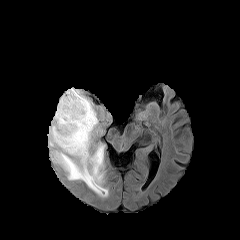
FLAIR magnetic resonance.
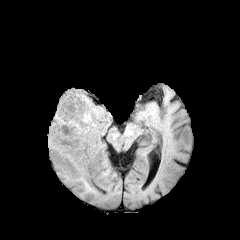
T1-weighted MR image.
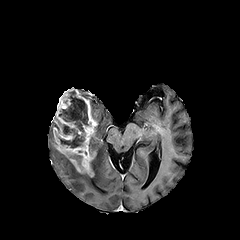
Post-contrast T1-weighted MR.
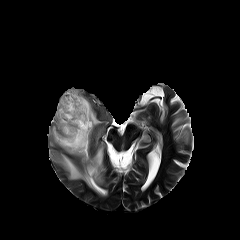
Same slice, T2-weighted MRI.
240x240
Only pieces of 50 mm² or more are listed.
necrotic_tumor_core:
  - {"x1": 58, "y1": 124, "x2": 84, "y2": 148}
  - {"x1": 59, "y1": 91, "x2": 88, "y2": 132}
peritumoral_edema:
  - {"x1": 48, "y1": 101, "x2": 107, "y2": 196}
enhancing_tumor:
  - {"x1": 52, "y1": 87, "x2": 97, "y2": 176}